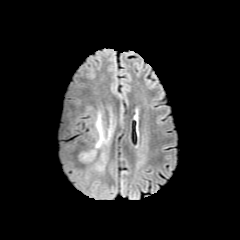
FLAIR magnetic resonance.
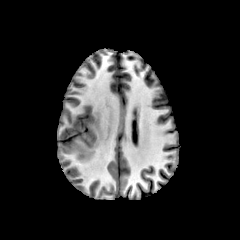
Same slice, T1-weighted MRI.
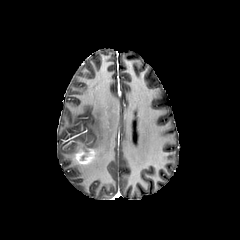
Post-contrast T1-weighted MRI.
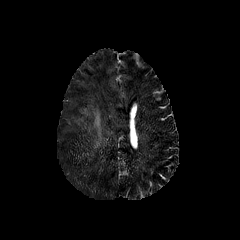
T2-weighted MR image.
Axial view
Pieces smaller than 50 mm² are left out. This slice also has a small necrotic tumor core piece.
The peritumoral edema is bounded by (x1=94, y1=111, x2=114, y2=173). The enhancing tumor is located at (x1=76, y1=148, x2=95, y2=163).